Brain, 240x240 px, Axial plane
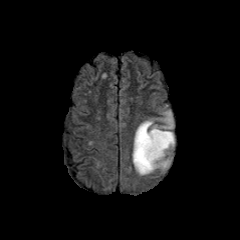
FLAIR MRI.
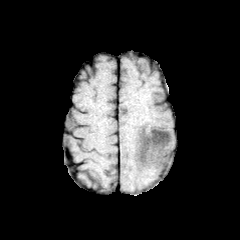
Same slice, T1-weighted MRI.
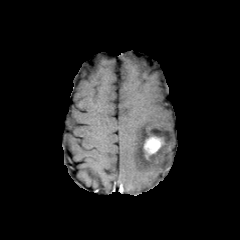
Post-contrast T1-weighted MR image.
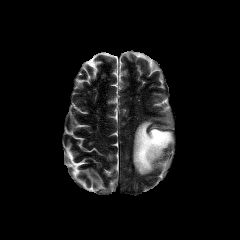
T2-weighted MR image of the same slice.
{
  "peritumoral_edema": [
    {"x1": 132, "y1": 110, "x2": 174, "y2": 175}
  ],
  "enhancing_tumor": [
    {"x1": 143, "y1": 134, "x2": 165, "y2": 159}
  ]
}